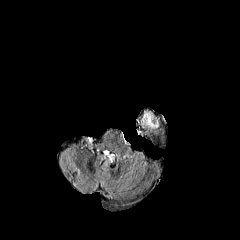
FLAIR magnetic resonance.
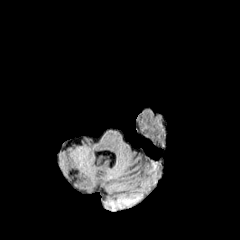
T1-weighted magnetic resonance.
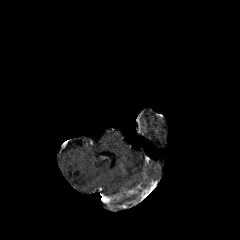
Same slice, post-contrast T1-weighted MR.
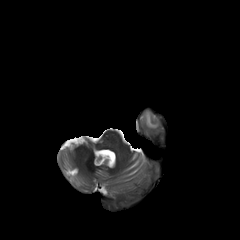
T2-weighted MR of the same slice.
240x240 px
peritumoral edema: (143, 112, 157, 127)